FLAIR MRI.
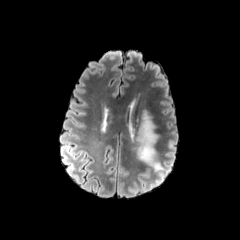
T1-weighted MR.
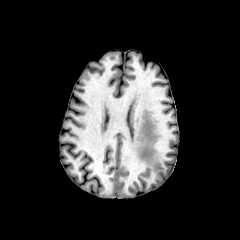
Post-contrast T1-weighted MR image.
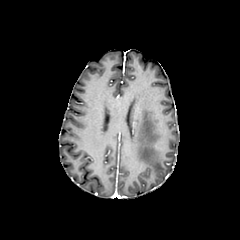
T2-weighted MRI.
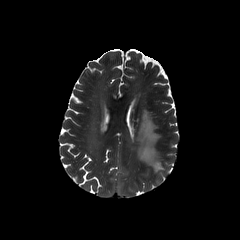
Axial plane | Image size 240x240
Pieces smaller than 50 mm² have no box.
The largest peritumoral edema region lies within <box>137,110,162,171</box>.